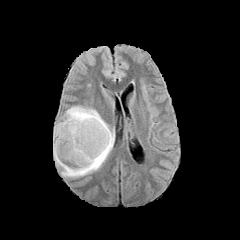
FLAIR MR.
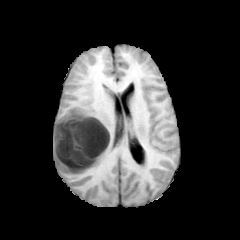
T1-weighted MR image of the same slice.
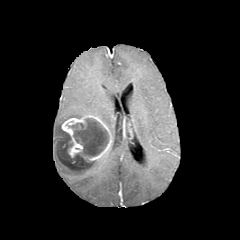
Post-contrast T1-weighted MR image of the same slice.
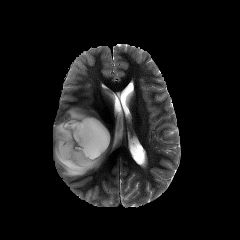
T2-weighted MR image.
Head
enhancing tumor: bounding box box(61, 115, 111, 160)
peritumoral edema: bounding box box(53, 106, 114, 178)
necrotic tumor core: bounding box box(69, 118, 109, 157)